Image covers 240 mm x 240 mm. 240x240 px. Axial slice.
FLAIR magnetic resonance.
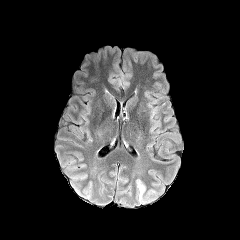
T1-weighted magnetic resonance.
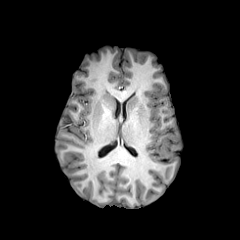
Post-contrast T1-weighted magnetic resonance.
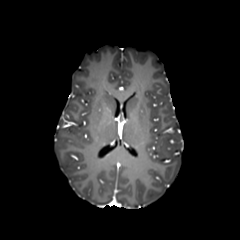
T2-weighted magnetic resonance.
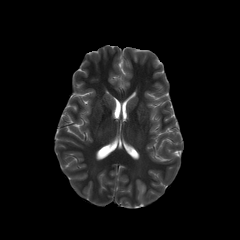
The peritumoral edema is bounded by [x1=136, y1=179, x2=146, y2=205].